FLAIR magnetic resonance.
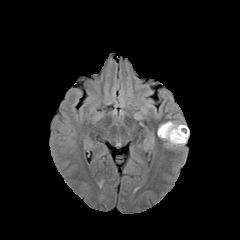
T1-weighted MRI.
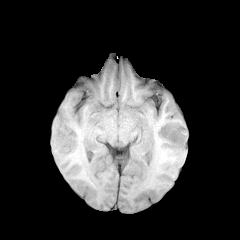
Post-contrast T1-weighted magnetic resonance.
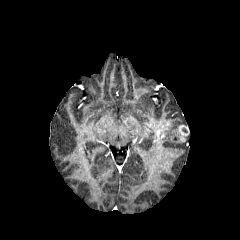
T2-weighted MRI.
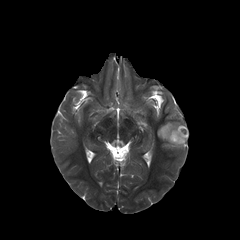
Brain. 240x240.
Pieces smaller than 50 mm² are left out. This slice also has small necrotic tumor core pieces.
peritumoral edema = [161,121,188,147]
enhancing tumor = [171,125,188,142], [157,122,170,137]